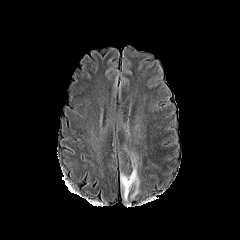
FLAIR MR.
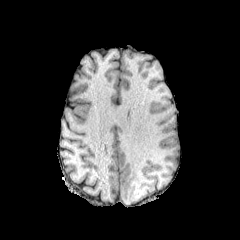
T1-weighted MR.
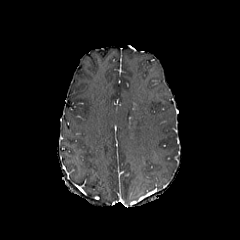
Post-contrast T1-weighted MR image.
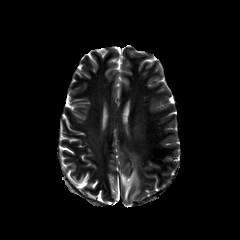
T2-weighted MR.
Axial slice
Segmented structures:
* peritumoral edema: {"x1": 121, "y1": 165, "x2": 138, "y2": 200}